Head, Axial view, 240x240
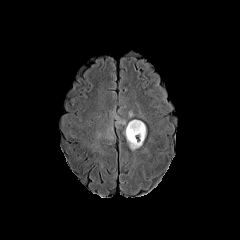
FLAIR MRI.
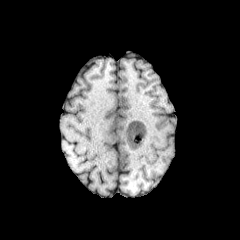
T1-weighted MR image.
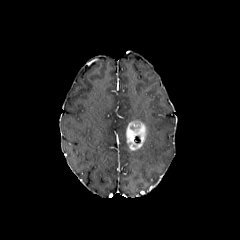
Post-contrast T1-weighted MR image of the same slice.
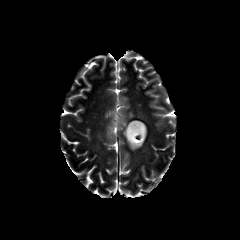
T2-weighted MR.
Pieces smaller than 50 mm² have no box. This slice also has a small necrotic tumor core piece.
The largest peritumoral edema region is located at (x1=114, y1=115, x2=127, y2=136). The enhancing tumor lies within (x1=126, y1=120, x2=146, y2=150).